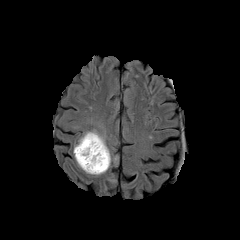
FLAIR MR image.
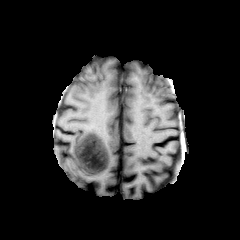
T1-weighted magnetic resonance of the same slice.
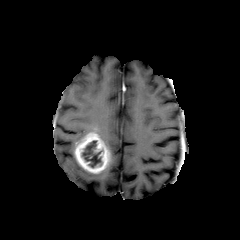
Post-contrast T1-weighted magnetic resonance of the same slice.
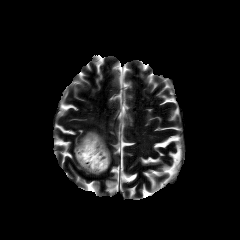
Same slice, T2-weighted MR.
Axial slice. Head.
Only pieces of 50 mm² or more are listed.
The largest enhancing tumor region appears at region(75, 132, 110, 173). The 2 largest peritumoral edema regions are bounded by region(78, 129, 106, 145); region(85, 162, 110, 175). The necrotic tumor core lies within region(82, 141, 101, 167).